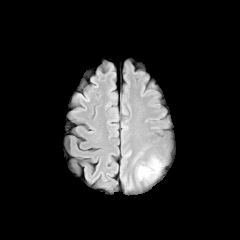
FLAIR magnetic resonance.
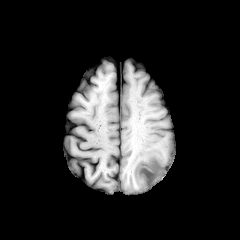
T1-weighted MR.
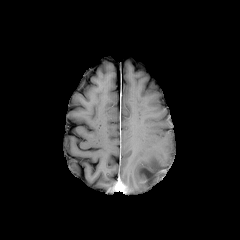
Post-contrast T1-weighted MR image.
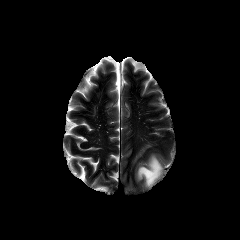
Same slice, T2-weighted MR image.
240x240; Brain
<segmentation>
  <peritumoral_edema>{"x1": 137, "y1": 157, "x2": 165, "y2": 185}</peritumoral_edema>
</segmentation>